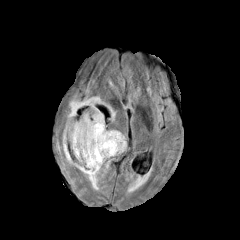
FLAIR MR.
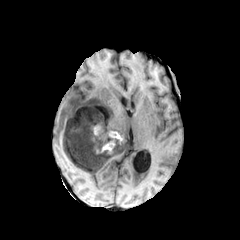
T1-weighted magnetic resonance.
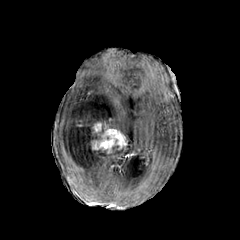
Post-contrast T1-weighted MRI of the same slice.
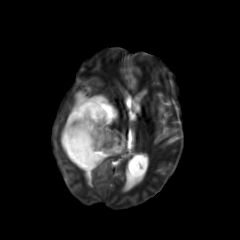
T2-weighted MR image.
Axial plane
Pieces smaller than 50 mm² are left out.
enhancing tumor at {"x1": 91, "y1": 122, "x2": 126, "y2": 154}
necrotic tumor core at {"x1": 70, "y1": 121, "x2": 101, "y2": 148}, {"x1": 97, "y1": 150, "x2": 107, "y2": 156}, {"x1": 72, "y1": 152, "x2": 86, "y2": 167}
peritumoral edema at {"x1": 61, "y1": 87, "x2": 124, "y2": 189}